FLAIR MRI.
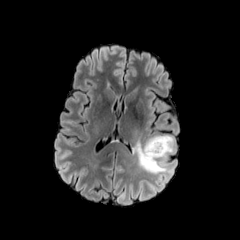
T1-weighted magnetic resonance.
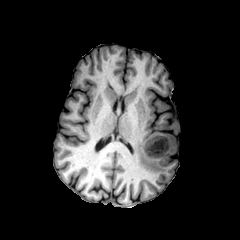
Post-contrast T1-weighted MR.
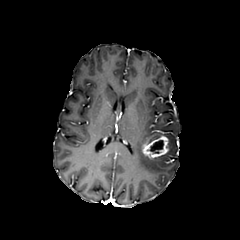
T2-weighted magnetic resonance.
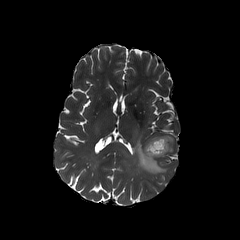
Axial view
Findings:
* necrotic tumor core: bbox(148, 140, 163, 153)
* enhancing tumor: bbox(142, 136, 168, 158)
* peritumoral edema: bbox(133, 135, 175, 173)